Image size 240x240, Slice 33/155
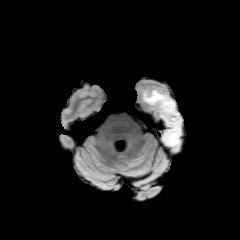
FLAIR MR image.
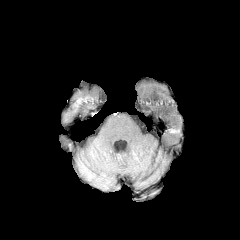
T1-weighted MRI.
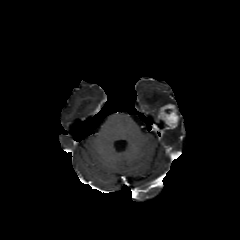
Same slice, post-contrast T1-weighted magnetic resonance.
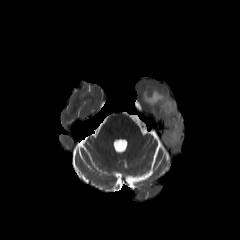
Same slice, T2-weighted MR.
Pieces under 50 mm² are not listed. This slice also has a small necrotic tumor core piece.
2 peritumoral edema regions appear at x1=162, y1=113, x2=181, y2=147; x1=143, y1=89, x2=175, y2=114. The enhancing tumor appears at x1=159, y1=104, x2=178, y2=128.